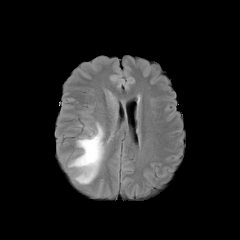
FLAIR magnetic resonance.
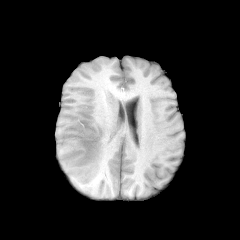
T1-weighted MR image of the same slice.
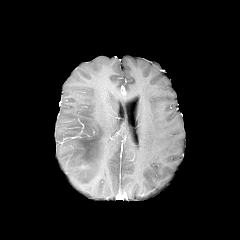
Post-contrast T1-weighted MR.
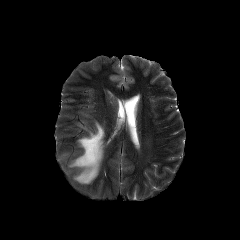
T2-weighted MR image.
Head
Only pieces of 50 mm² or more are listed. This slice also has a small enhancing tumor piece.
<segmentation>
  <peritumoral_edema>(x1=68, y1=122, x2=104, y2=184)</peritumoral_edema>
</segmentation>